FLAIR magnetic resonance.
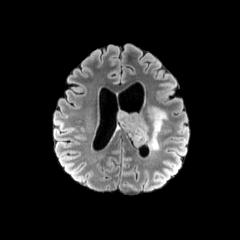
T1-weighted MR image.
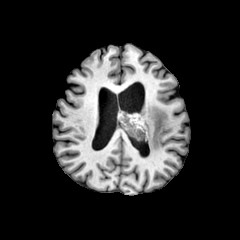
Post-contrast T1-weighted MR.
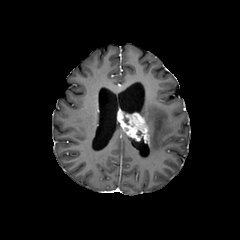
T2-weighted MRI.
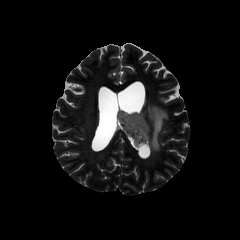
Brain. Axial slice.
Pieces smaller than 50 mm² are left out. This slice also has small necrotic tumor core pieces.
<segmentation>
  <enhancing_tumor>x1=117, y1=111, x2=149, y2=144</enhancing_tumor>
  <peritumoral_edema>x1=148, y1=106, x2=167, y2=151</peritumoral_edema>
</segmentation>